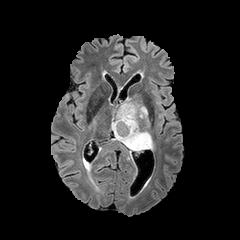
FLAIR MR.
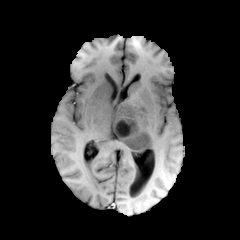
T1-weighted magnetic resonance of the same slice.
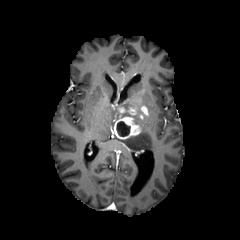
Post-contrast T1-weighted MR of the same slice.
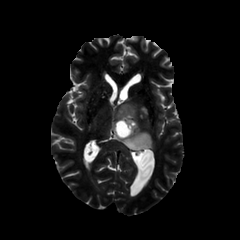
T2-weighted MR.
Axial plane | Image size 240x240
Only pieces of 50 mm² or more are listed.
<segmentation>
  <necrotic_tumor_core>left=116, top=122, right=130, bottom=137</necrotic_tumor_core>
  <enhancing_tumor>left=114, top=117, right=140, bottom=139; left=119, top=107, right=136, bottom=114; left=141, top=106, right=148, bottom=116</enhancing_tumor>
  <peritumoral_edema>left=112, top=98, right=152, bottom=149</peritumoral_edema>
</segmentation>